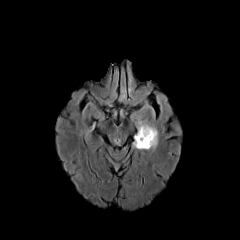
FLAIR MR image.
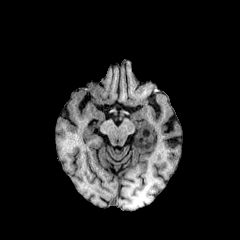
Same slice, T1-weighted MRI.
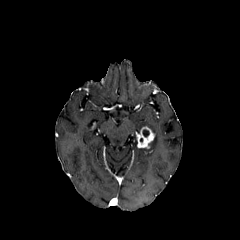
Post-contrast T1-weighted MRI of the same slice.
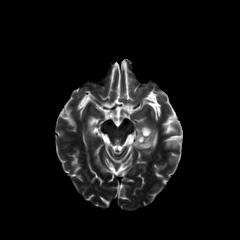
T2-weighted MR.
Image size 240x240, Axial plane, Head
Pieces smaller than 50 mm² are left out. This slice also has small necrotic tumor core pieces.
Findings:
* enhancing tumor: bbox(136, 126, 155, 148)
* peritumoral edema: bbox(133, 134, 148, 149); bbox(137, 118, 158, 149)